Brain; 240x240
FLAIR MR image.
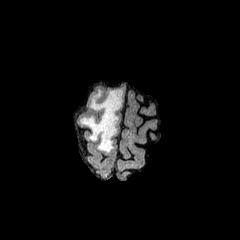
T1-weighted magnetic resonance.
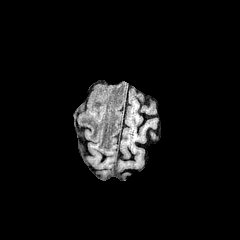
Post-contrast T1-weighted MR.
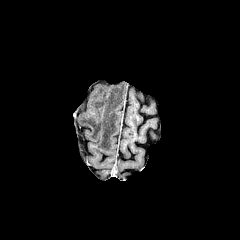
T2-weighted MR image.
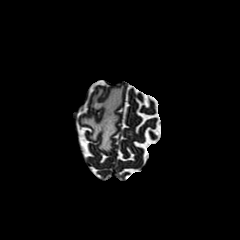
peritumoral edema at (80, 88, 123, 152)